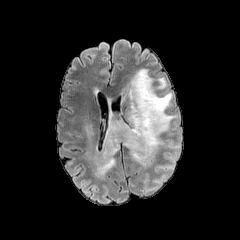
FLAIR magnetic resonance.
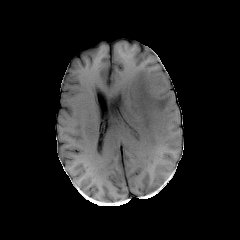
T1-weighted magnetic resonance of the same slice.
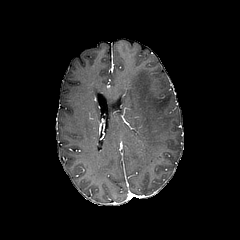
Post-contrast T1-weighted MR image of the same slice.
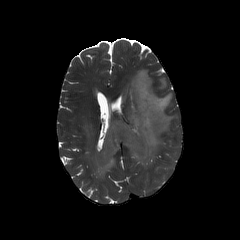
T2-weighted magnetic resonance.
Image size 240x240; Axial view
{"peritumoral_edema": ["<box>94,68,176,177</box>", "<box>85,125,92,137</box>"]}